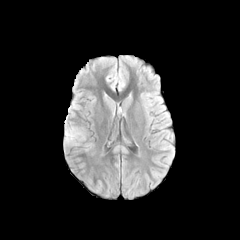
FLAIR magnetic resonance.
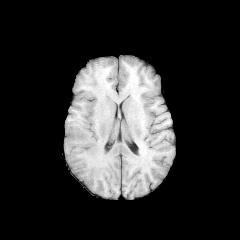
T1-weighted MR of the same slice.
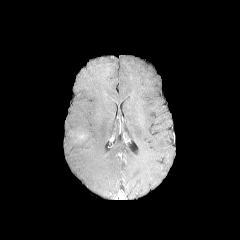
Post-contrast T1-weighted MRI of the same slice.
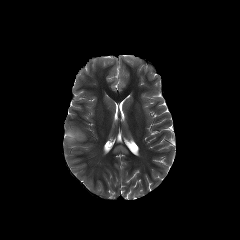
T2-weighted MRI of the same slice.
Brain
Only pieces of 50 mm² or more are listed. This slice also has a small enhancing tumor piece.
peritumoral edema: x1=65 y1=128 x2=85 y2=143